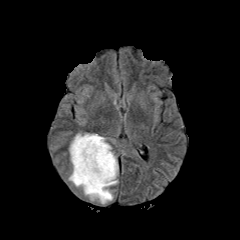
FLAIR MR.
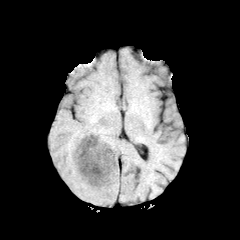
T1-weighted MR.
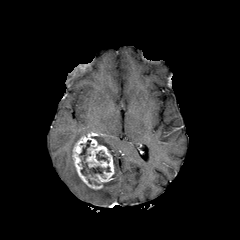
Same slice, post-contrast T1-weighted MR.
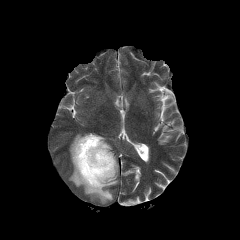
T2-weighted MRI.
240x240 px
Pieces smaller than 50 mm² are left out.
The peritumoral edema is at {"x1": 68, "y1": 133, "x2": 118, "y2": 203}. The 2 largest necrotic tumor core regions are bounded by {"x1": 96, "y1": 152, "x2": 108, "y2": 162}, {"x1": 79, "y1": 140, "x2": 110, "y2": 175}. The enhancing tumor is at {"x1": 72, "y1": 133, "x2": 114, "y2": 189}.